Slice 118/155
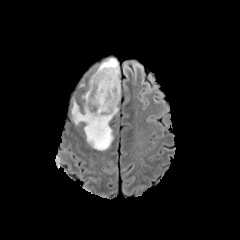
FLAIR MR image.
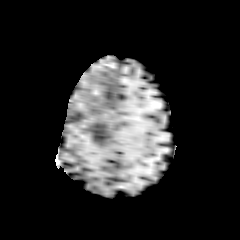
T1-weighted MR.
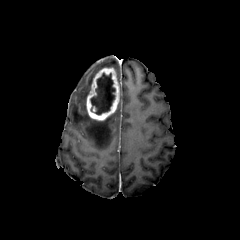
Post-contrast T1-weighted magnetic resonance.
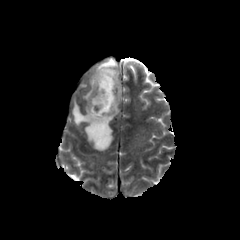
Same slice, T2-weighted MR.
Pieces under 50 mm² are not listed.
necrotic tumor core — [91,73,115,114]
peritumoral edema — [72,103,118,150], [95,58,119,75]
enhancing tumor — [86,67,120,120]